FLAIR magnetic resonance.
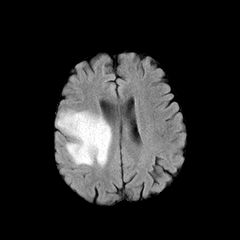
T1-weighted MR.
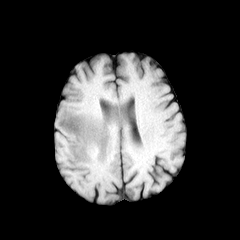
Post-contrast T1-weighted magnetic resonance.
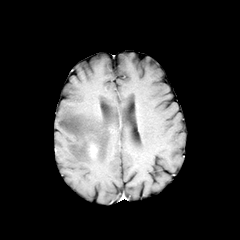
T2-weighted MR.
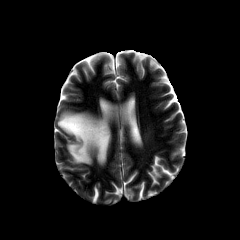
Axial plane. Head.
<segmentation>
  <peritumoral_edema>{"x1": 57, "y1": 110, "x2": 111, "y2": 166}</peritumoral_edema>
  <enhancing_tumor>{"x1": 90, "y1": 145, "x2": 95, "y2": 155}</enhancing_tumor>
</segmentation>